Axial slice. Slice 41 of 155. 240x240. Head. Image width 240 mm, 1.00 mm slice spacing.
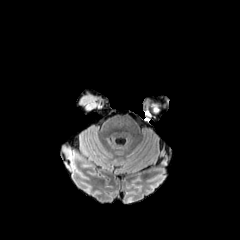
FLAIR magnetic resonance.
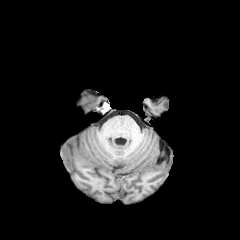
T1-weighted MRI.
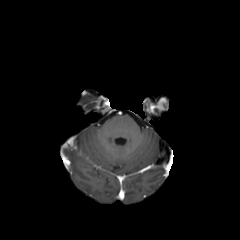
Post-contrast T1-weighted MR image of the same slice.
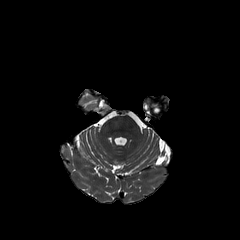
Same slice, T2-weighted MRI.
{"peritumoral_edema": ["region(151, 104, 158, 112)"]}